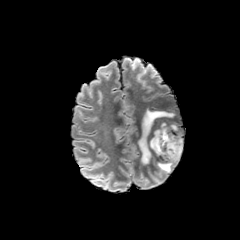
FLAIR MR.
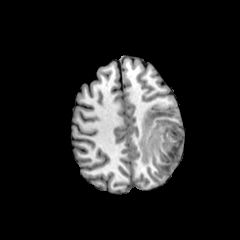
T1-weighted magnetic resonance.
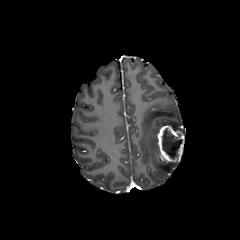
Post-contrast T1-weighted magnetic resonance of the same slice.
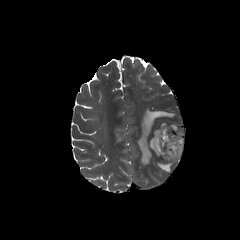
Same slice, T2-weighted MRI.
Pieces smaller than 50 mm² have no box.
Findings:
* peritumoral edema: box(138, 108, 183, 164); box(157, 161, 177, 172)
* enhancing tumor: box(157, 125, 184, 162)
* necrotic tumor core: box(162, 128, 182, 158)